Axial plane. Brain. Slice index 112. Image width 240 mm.
FLAIR MR image.
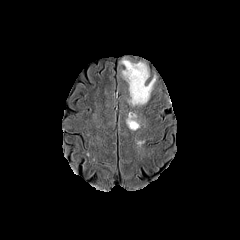
T1-weighted MR.
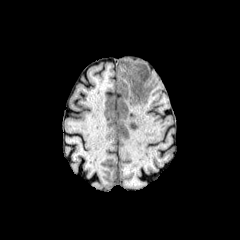
Post-contrast T1-weighted MRI.
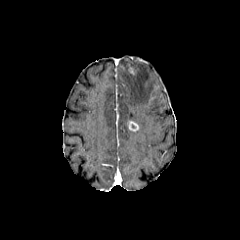
T2-weighted MR.
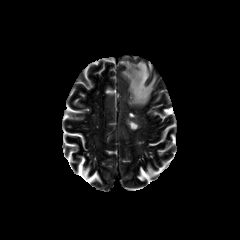
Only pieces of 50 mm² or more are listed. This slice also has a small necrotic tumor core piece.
peritumoral edema at (126,112,139,126), (121,59,156,106)
enhancing tumor at (127,121,139,130)